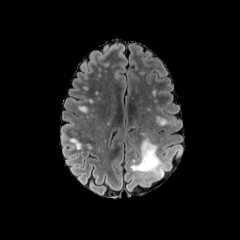
FLAIR MRI.
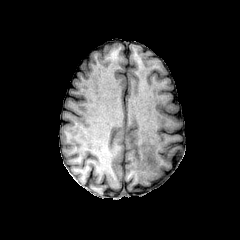
Same slice, T1-weighted MR image.
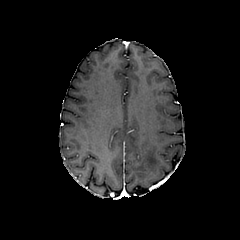
Post-contrast T1-weighted MR.
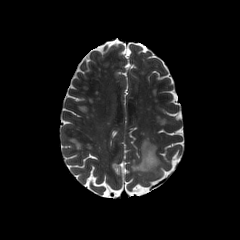
T2-weighted MR of the same slice.
Brain
<segmentation>
  <peritumoral_edema>l=130, t=138, r=166, b=178</peritumoral_edema>
</segmentation>